Brain. 240x240. Slice index 46.
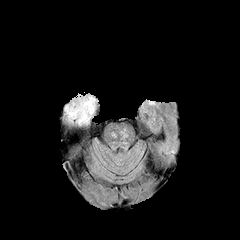
FLAIR magnetic resonance.
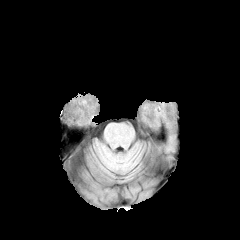
T1-weighted magnetic resonance of the same slice.
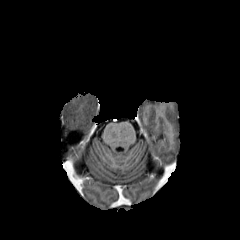
Same slice, post-contrast T1-weighted MR.
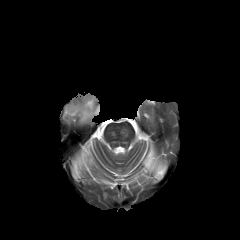
T2-weighted magnetic resonance of the same slice.
peritumoral edema: 60 95 98 127